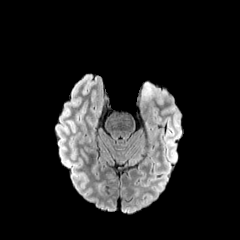
FLAIR magnetic resonance.
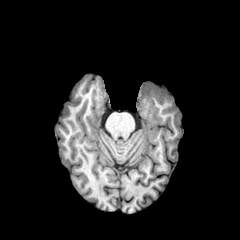
T1-weighted MR of the same slice.
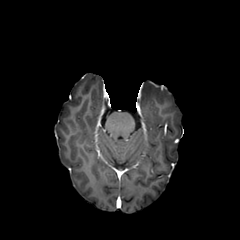
Same slice, post-contrast T1-weighted MR image.
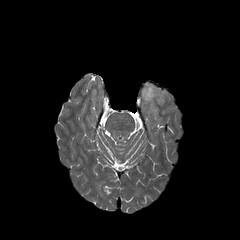
T2-weighted MR image.
Axial plane, Brain, Image size 240x240
Findings:
* peritumoral edema: bbox(142, 82, 157, 101)